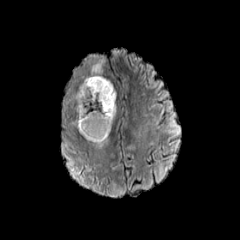
FLAIR magnetic resonance.
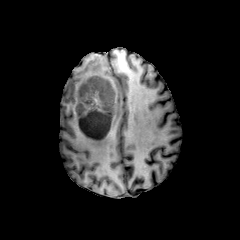
Same slice, T1-weighted MR.
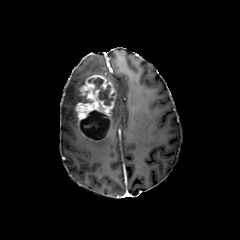
Same slice, post-contrast T1-weighted MR.
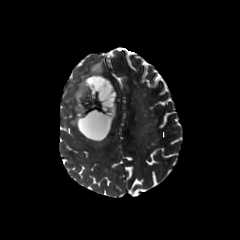
T2-weighted MR image of the same slice.
Axial view
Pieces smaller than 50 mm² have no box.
<segmentation>
  <peritumoral_edema>(x1=68, y1=58, x2=105, y2=110)</peritumoral_edema>
  <enhancing_tumor>(x1=75, y1=75, x2=115, y2=141)</enhancing_tumor>
  <necrotic_tumor_core>(x1=88, y1=77, x2=112, y2=104), (x1=80, y1=110, x2=109, y2=139)</necrotic_tumor_core>
</segmentation>